Brain | 240x240 px | Axial view
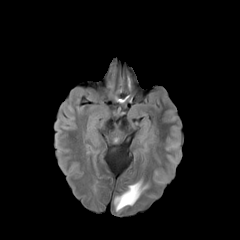
FLAIR MR.
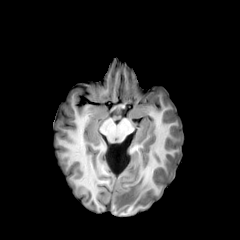
T1-weighted MR.
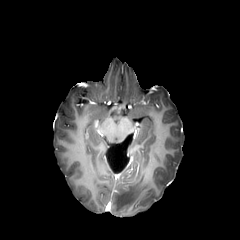
Post-contrast T1-weighted magnetic resonance of the same slice.
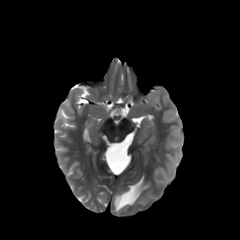
T2-weighted MR image.
The peritumoral edema is located at region(114, 179, 148, 211).